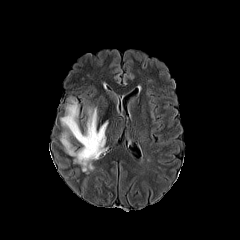
FLAIR MR image.
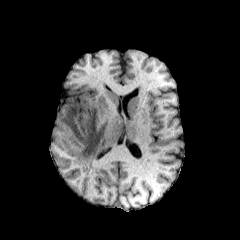
T1-weighted MR image.
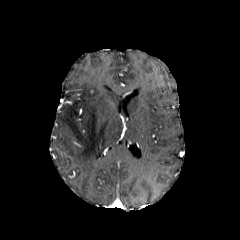
Post-contrast T1-weighted magnetic resonance.
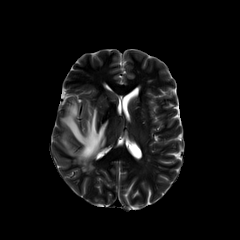
T2-weighted magnetic resonance.
Head
The peritumoral edema lies within l=60, t=98, r=107, b=173.